Brain
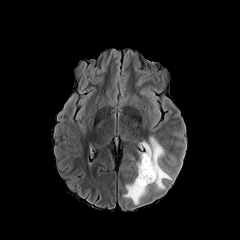
FLAIR MRI.
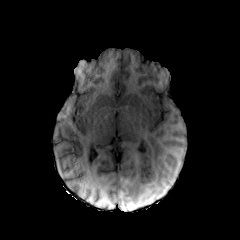
Same slice, T1-weighted MR.
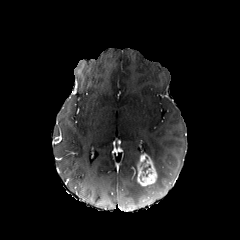
Post-contrast T1-weighted magnetic resonance.
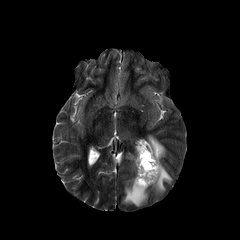
T2-weighted MR.
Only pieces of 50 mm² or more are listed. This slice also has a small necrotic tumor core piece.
Segmented structures:
- enhancing tumor: 137,153,157,186
- peritumoral edema: 122,177,150,205; 142,135,172,190